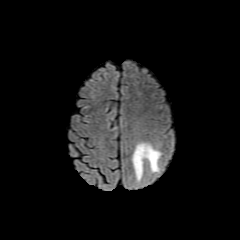
FLAIR magnetic resonance.
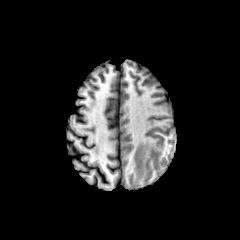
T1-weighted MR.
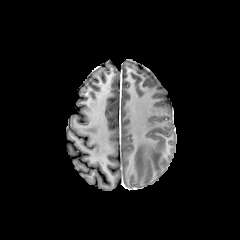
Post-contrast T1-weighted magnetic resonance of the same slice.
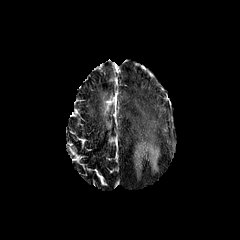
T2-weighted MR.
Brain. Axial view. 240x240 px.
peritumoral edema: bbox(132, 142, 161, 181)